Brain | Axial view | Slice 91/155
FLAIR MR image.
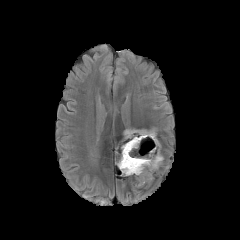
T1-weighted MR image.
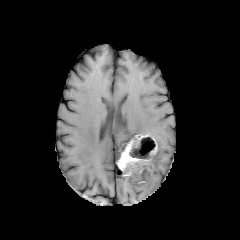
Post-contrast T1-weighted MRI.
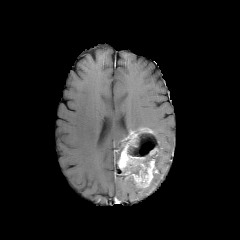
T2-weighted MR image.
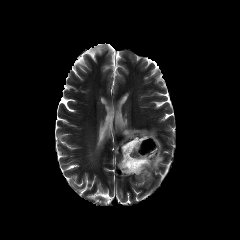
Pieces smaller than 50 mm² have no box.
{"necrotic_tumor_core": ["<box>127,133,158,166</box>", "<box>130,166,140,174</box>"], "peritumoral_edema": ["<box>154,149,163,170</box>"], "enhancing_tumor": ["<box>118,128,156,187</box>"]}